Brain. Image width 240 mm, 1.00 mm slice spacing.
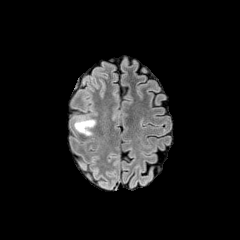
FLAIR MR image.
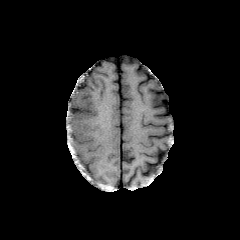
T1-weighted MR.
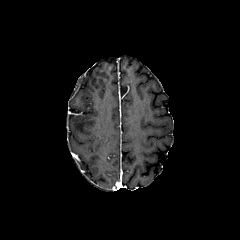
Same slice, post-contrast T1-weighted MRI.
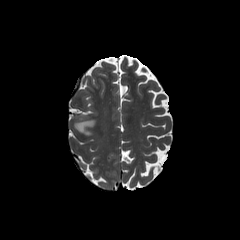
Same slice, T2-weighted MR image.
The peritumoral edema appears at {"x1": 74, "y1": 120, "x2": 95, "y2": 135}.